FLAIR MR.
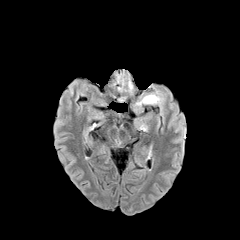
T1-weighted MRI.
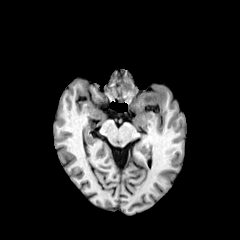
Post-contrast T1-weighted MR image.
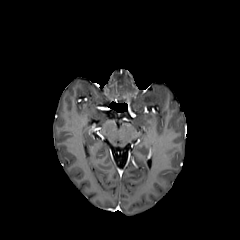
T2-weighted MRI.
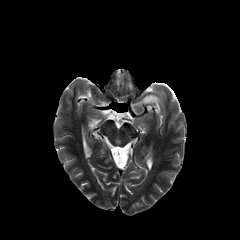
Image size 240x240. Axial view.
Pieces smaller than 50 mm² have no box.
peritumoral edema: bounding box box(136, 95, 160, 105)